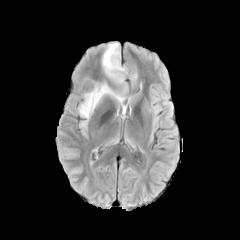
FLAIR magnetic resonance.
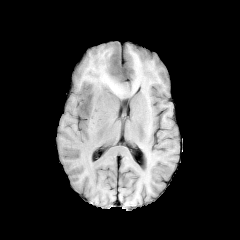
T1-weighted MR image.
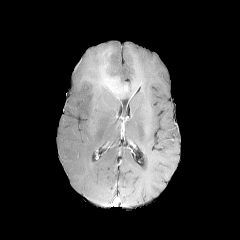
Post-contrast T1-weighted magnetic resonance.
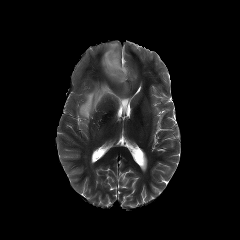
T2-weighted MR of the same slice.
240x240 px; Head
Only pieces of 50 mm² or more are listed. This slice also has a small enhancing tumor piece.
peritumoral edema: l=78, t=42, r=138, b=138